Brain, Slice 92 of 155
FLAIR MR.
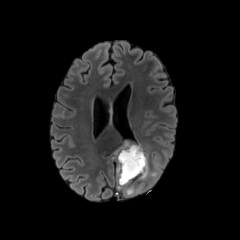
T1-weighted MRI.
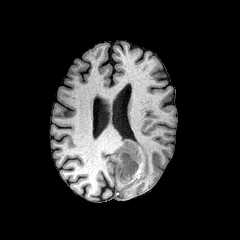
Post-contrast T1-weighted MR image.
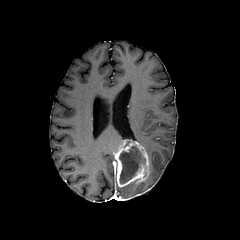
T2-weighted MRI.
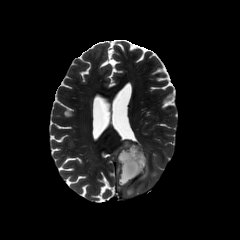
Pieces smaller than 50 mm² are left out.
enhancing tumor: bounding box l=113, t=141, r=149, b=187
peritumoral edema: bounding box l=146, t=170, r=159, b=180; l=125, t=186, r=134, b=195
necrotic tumor core: bounding box l=119, t=146, r=144, b=183